FLAIR MRI.
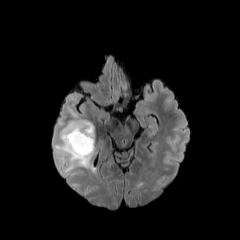
T1-weighted MR image.
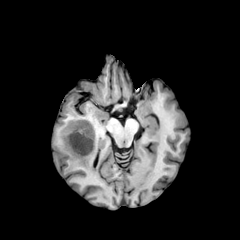
Post-contrast T1-weighted MRI.
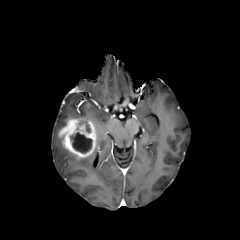
T2-weighted MR.
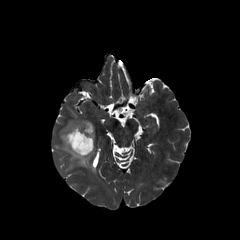
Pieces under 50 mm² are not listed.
{"enhancing_tumor": ["<bbox>58, 118, 96, 158</bbox>"], "peritumoral_edema": ["<bbox>54, 135, 91, 169</bbox>", "<bbox>69, 108, 80, 118</bbox>"], "necrotic_tumor_core": ["<bbox>71, 132, 92, 152</bbox>"]}